FLAIR MR.
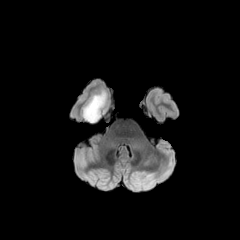
T1-weighted magnetic resonance.
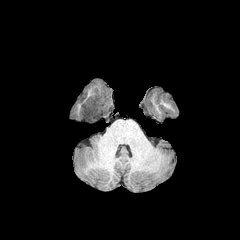
Post-contrast T1-weighted magnetic resonance.
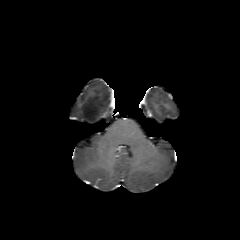
T2-weighted magnetic resonance.
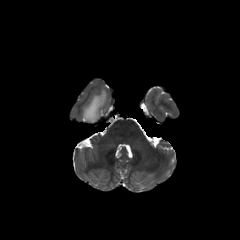
Axial view | 240x240 px
peritumoral edema — (82, 90, 109, 123)